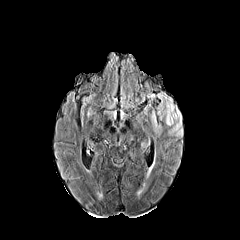
FLAIR magnetic resonance.
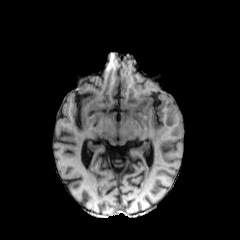
T1-weighted MR image.
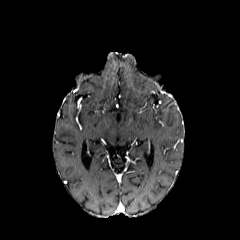
Post-contrast T1-weighted MR.
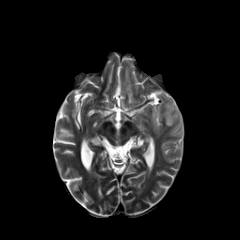
T2-weighted MR of the same slice.
Image size 240x240; Head
2 peritumoral edema regions are located at (158, 95, 182, 136), (151, 111, 160, 130).